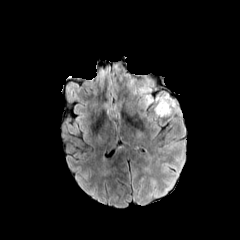
FLAIR MRI.
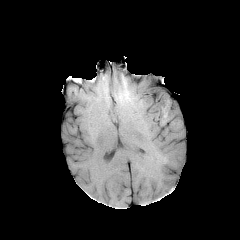
T1-weighted MRI of the same slice.
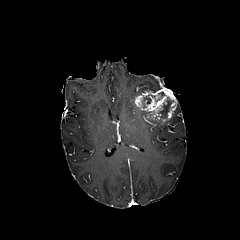
Post-contrast T1-weighted MR image.
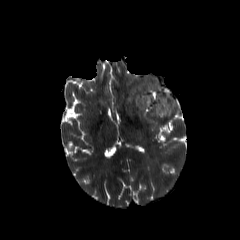
T2-weighted MR.
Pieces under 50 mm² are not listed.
necrotic tumor core at (x1=158, y1=97, x2=173, y2=119)
peritumoral edema at (x1=138, y1=80, x2=151, y2=92)
enhancing tumor at (x1=135, y1=88, x2=177, y2=119)